Axial plane | Slice 101/155
FLAIR MR image.
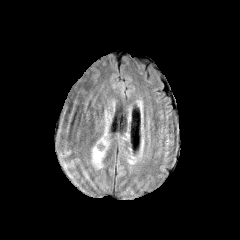
T1-weighted MRI.
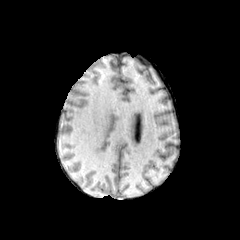
Post-contrast T1-weighted magnetic resonance.
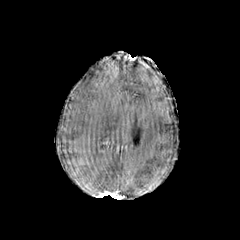
T2-weighted MR image.
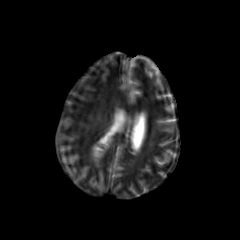
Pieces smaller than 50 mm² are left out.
peritumoral edema — [92,147,102,163]